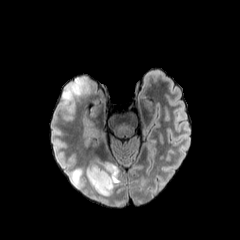
FLAIR magnetic resonance.
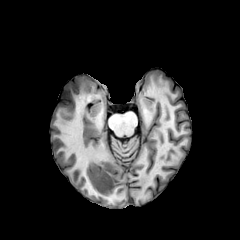
T1-weighted MR image.
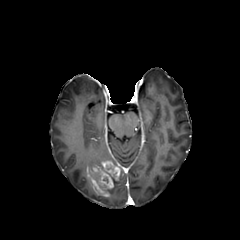
Post-contrast T1-weighted MR image.
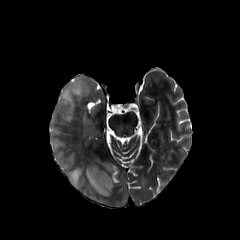
Same slice, T2-weighted MRI.
Head
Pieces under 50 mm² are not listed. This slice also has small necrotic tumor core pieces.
enhancing_tumor:
  - 86 161 120 196
peritumoral_edema:
  - 109 173 121 195
  - 70 169 83 187
  - 60 77 88 119